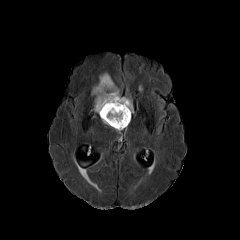
FLAIR MR.
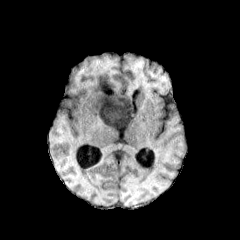
T1-weighted MRI.
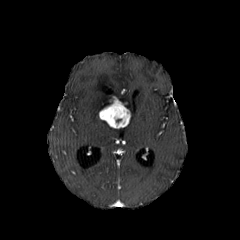
Same slice, post-contrast T1-weighted magnetic resonance.
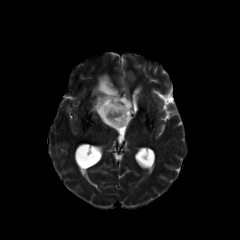
T2-weighted MR.
Brain, 240x240
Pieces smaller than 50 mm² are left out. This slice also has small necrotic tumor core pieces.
* peritumoral edema: left=92, top=73, right=133, bottom=113
* enhancing tumor: left=99, top=96, right=130, bottom=128